Image covers 240 mm x 240 mm | Brain | Axial view
FLAIR MR.
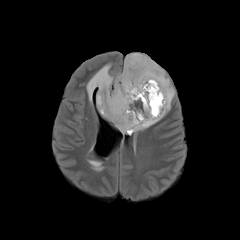
T1-weighted magnetic resonance.
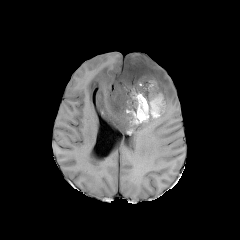
Post-contrast T1-weighted MR.
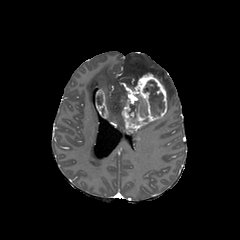
T2-weighted MR.
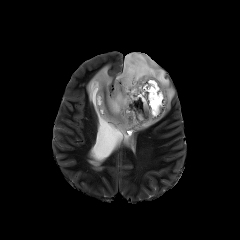
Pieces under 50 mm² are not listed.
peritumoral edema: bounding box [136,119,160,131], [86,53,175,133]
enhancing tumor: bounding box [96,89,109,118], [121,73,167,133]
necrotic tumor core: bounding box [144,80,164,116], [97,95,102,105], [128,96,147,119]